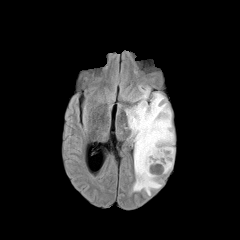
FLAIR MRI.
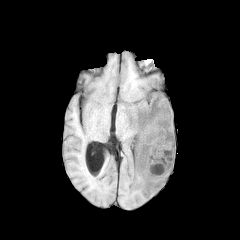
T1-weighted MR image.
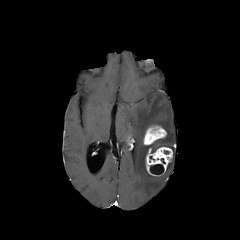
Post-contrast T1-weighted MRI of the same slice.
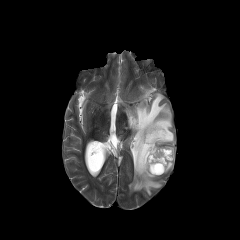
T2-weighted MRI of the same slice.
Axial view.
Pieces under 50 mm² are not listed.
peritumoral_edema:
  - rect(126, 88, 174, 195)
necrotic_tumor_core:
  - rect(150, 164, 163, 174)
enhancing_tumor:
  - rect(145, 147, 173, 176)
  - rect(143, 125, 167, 145)